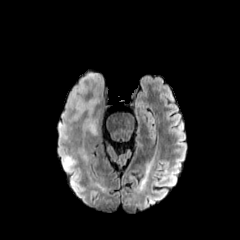
FLAIR magnetic resonance.
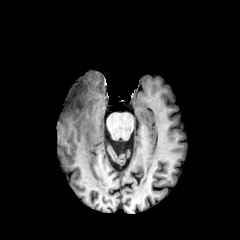
Same slice, T1-weighted MR.
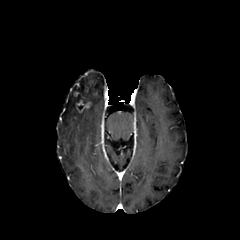
Post-contrast T1-weighted magnetic resonance of the same slice.
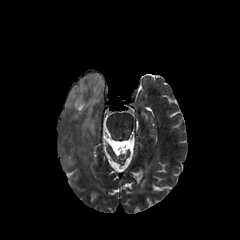
Same slice, T2-weighted MR image.
Brain
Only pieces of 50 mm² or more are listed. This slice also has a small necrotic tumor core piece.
peritumoral edema = box(83, 117, 96, 134); box(62, 71, 103, 121); box(59, 123, 66, 138); box(64, 157, 74, 168)
enhancing tumor = box(72, 82, 80, 97); box(74, 85, 92, 112)